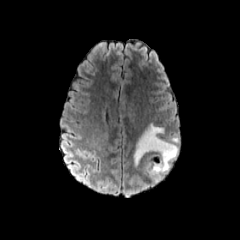
FLAIR magnetic resonance.
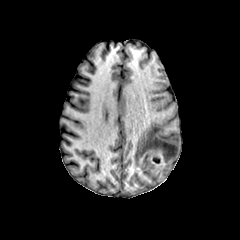
T1-weighted MR image of the same slice.
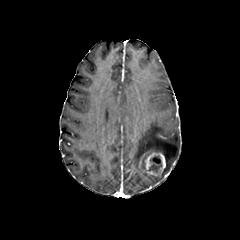
Post-contrast T1-weighted MRI of the same slice.
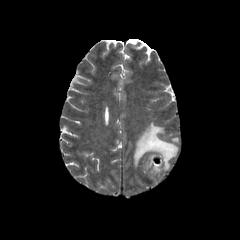
T2-weighted MRI of the same slice.
240x240 px; Brain
The enhancing tumor appears at bbox(140, 149, 166, 178). The peritumoral edema is bounded by bbox(133, 123, 178, 182). The necrotic tumor core lies within bbox(149, 155, 162, 172).